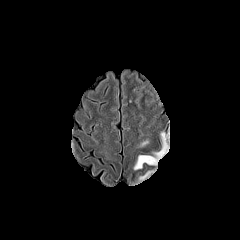
FLAIR MR image.
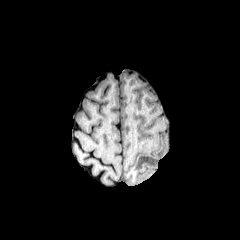
T1-weighted magnetic resonance.
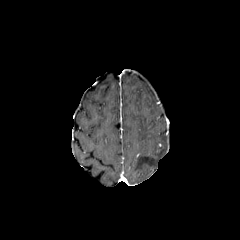
Post-contrast T1-weighted MR image.
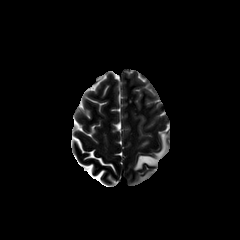
T2-weighted magnetic resonance.
Head. Image size 240x240.
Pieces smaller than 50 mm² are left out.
The 2 largest peritumoral edema regions are located at 134:133:167:169, 139:171:152:180.